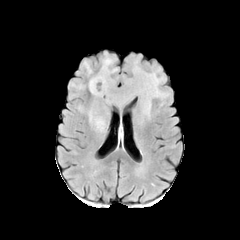
FLAIR magnetic resonance.
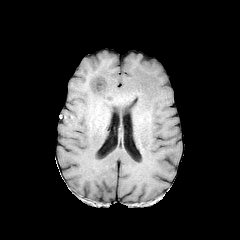
T1-weighted MR image.
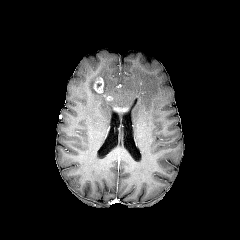
Post-contrast T1-weighted MR.
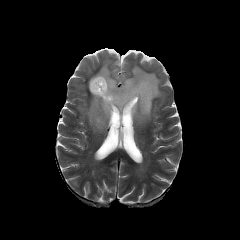
T2-weighted magnetic resonance.
Axial plane | Head
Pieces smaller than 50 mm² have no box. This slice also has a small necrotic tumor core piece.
enhancing tumor at (93,77,104,93)
peritumoral edema at (88,54,166,131)